Axial slice; 240x240 px
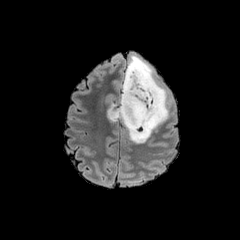
FLAIR magnetic resonance.
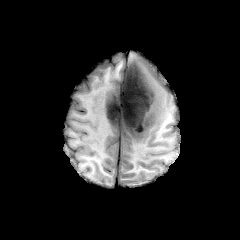
T1-weighted magnetic resonance.
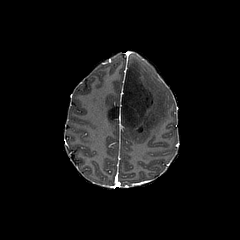
Same slice, post-contrast T1-weighted magnetic resonance.
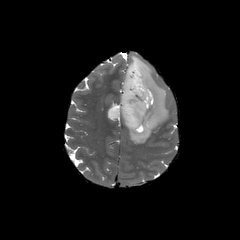
T2-weighted magnetic resonance of the same slice.
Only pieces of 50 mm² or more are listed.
The necrotic tumor core is located at 108,65,152,135. The largest peritumoral edema region appears at 128,55,168,143.